Brain | Axial slice | 240x240 px
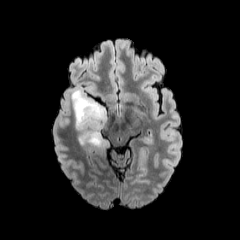
FLAIR magnetic resonance.
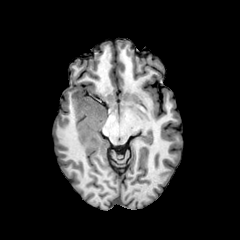
T1-weighted MR image.
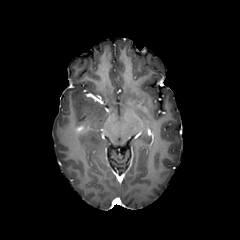
Same slice, post-contrast T1-weighted MR image.
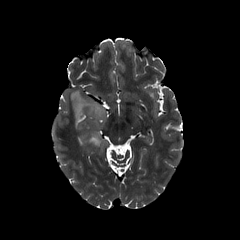
Same slice, T2-weighted MR.
enhancing tumor: [76, 125, 86, 133] | peritumoral edema: [71, 90, 106, 150]